240x240; Brain
FLAIR MRI.
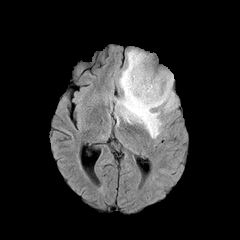
T1-weighted MR.
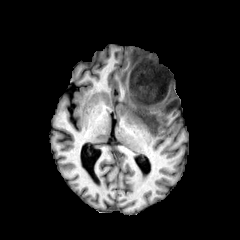
Post-contrast T1-weighted MRI.
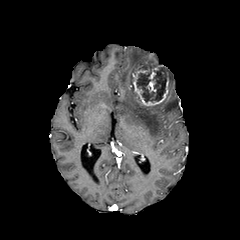
T2-weighted MR image.
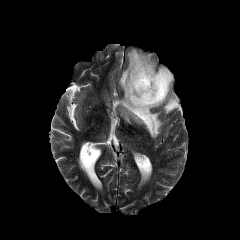
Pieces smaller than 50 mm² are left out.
The largest necrotic tumor core region lies within 136,67,166,102. The largest enhancing tumor region is at 132,53,169,106. The peritumoral edema is located at 116,49,177,138.